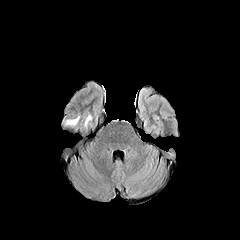
FLAIR MR.
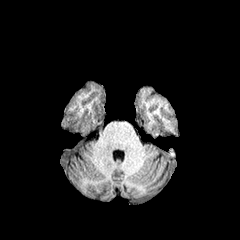
T1-weighted MR image.
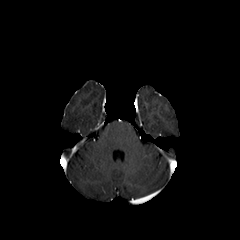
Post-contrast T1-weighted MR of the same slice.
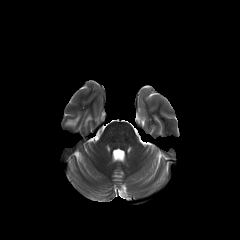
T2-weighted magnetic resonance.
peritumoral edema — {"x1": 65, "y1": 114, "x2": 80, "y2": 126}, {"x1": 84, "y1": 115, "x2": 91, "y2": 126}